Image size 240x240; Axial view; Image width 240 mm, 1.00 mm slice spacing; Head
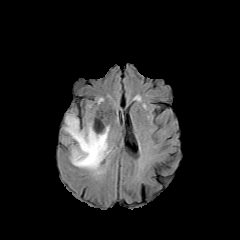
FLAIR magnetic resonance.
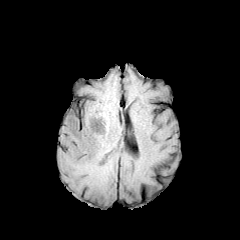
Same slice, T1-weighted magnetic resonance.
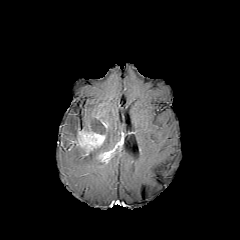
Post-contrast T1-weighted magnetic resonance of the same slice.
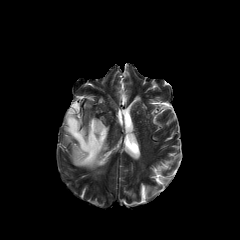
Same slice, T2-weighted MR.
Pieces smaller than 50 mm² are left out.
2 peritumoral edema regions are located at bbox(64, 108, 112, 174); bbox(82, 121, 91, 132). The 2 largest enhancing tumor regions are bounded by bbox(78, 130, 104, 154); bbox(99, 151, 112, 161). The necrotic tumor core is bounded by bbox(91, 118, 105, 134).